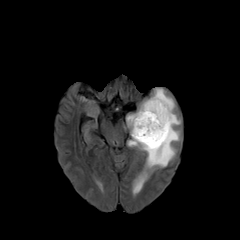
FLAIR MR image.
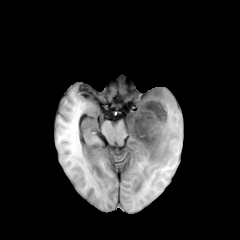
T1-weighted MR.
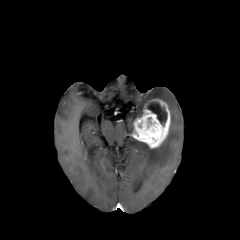
Post-contrast T1-weighted magnetic resonance.
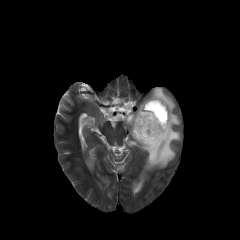
T2-weighted MRI.
Brain; Axial slice; 240x240
The peritumoral edema is located at 126 87 180 194. The enhancing tumor is located at 131 99 170 148. The necrotic tumor core lies within 147 102 166 124.